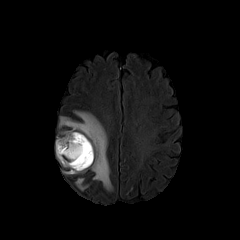
FLAIR MR image.
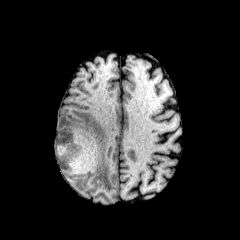
T1-weighted magnetic resonance.
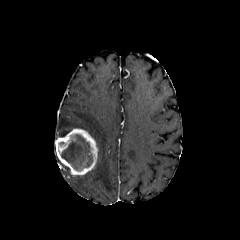
Post-contrast T1-weighted MR image.
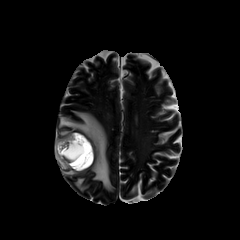
T2-weighted magnetic resonance of the same slice.
240x240 px; Axial slice
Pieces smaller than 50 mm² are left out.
The largest necrotic tumor core region is located at (61, 134, 92, 170). The enhancing tumor appears at (55, 128, 98, 175). The 2 largest peritumoral edema regions are located at (59, 110, 113, 190), (75, 178, 88, 190).